FLAIR MRI.
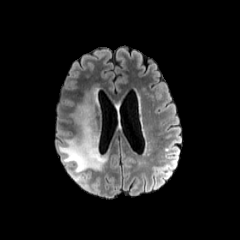
T1-weighted magnetic resonance.
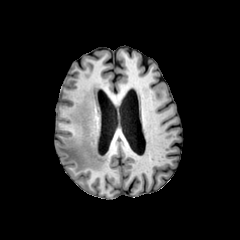
Post-contrast T1-weighted MRI.
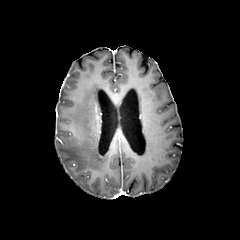
T2-weighted MR image.
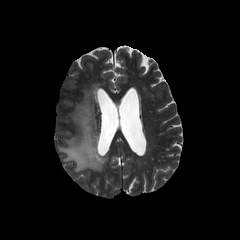
240x240 | Axial view
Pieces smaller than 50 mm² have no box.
peritumoral edema at box=[58, 95, 107, 172]